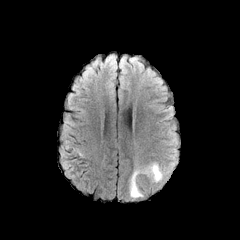
FLAIR magnetic resonance.
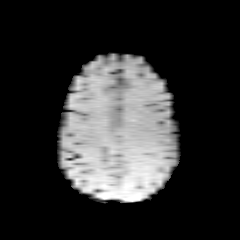
T1-weighted MRI.
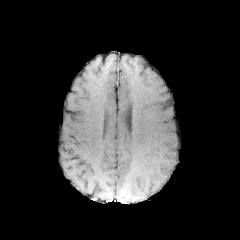
Post-contrast T1-weighted MRI.
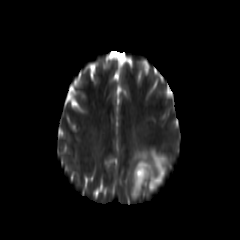
Same slice, T2-weighted magnetic resonance.
The peritumoral edema lies within 130,161,166,198.